FLAIR magnetic resonance.
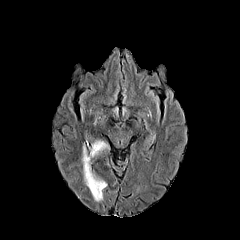
T1-weighted MR.
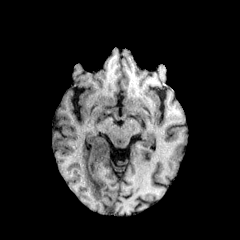
Post-contrast T1-weighted MRI.
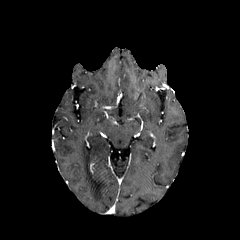
T2-weighted MR image.
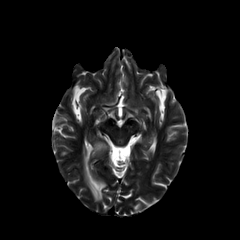
Head
The peritumoral edema lies within 82:138:110:201.